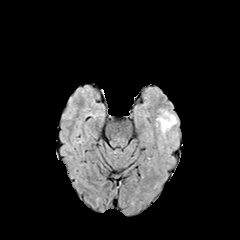
FLAIR magnetic resonance.
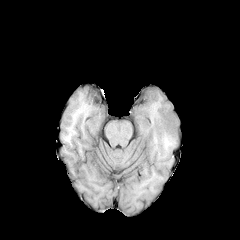
Same slice, T1-weighted MRI.
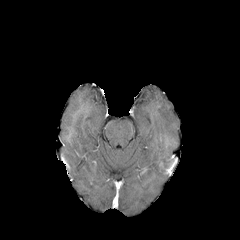
Post-contrast T1-weighted MR image.
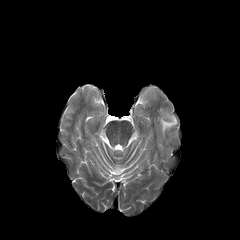
T2-weighted magnetic resonance.
Head | Axial plane
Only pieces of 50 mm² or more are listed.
{"peritumoral_edema": ["[157,109,177,138]"]}